240x240 | Slice 52/155
FLAIR MR.
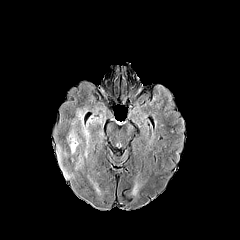
T1-weighted MR.
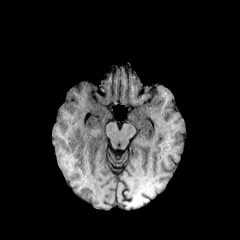
Post-contrast T1-weighted magnetic resonance.
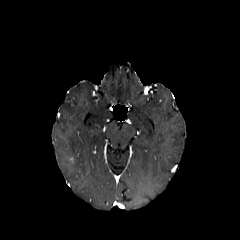
T2-weighted MRI.
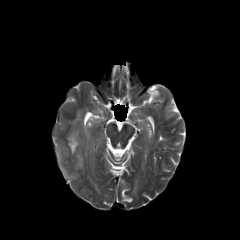
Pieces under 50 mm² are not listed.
peritumoral edema: rect(57, 146, 69, 178); rect(72, 110, 89, 147); rect(68, 131, 82, 170)